Head | Axial slice
FLAIR magnetic resonance.
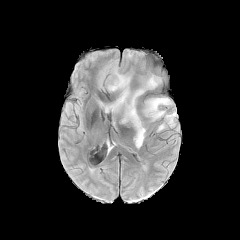
T1-weighted MR.
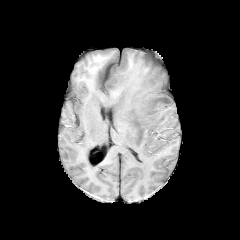
Post-contrast T1-weighted MR image.
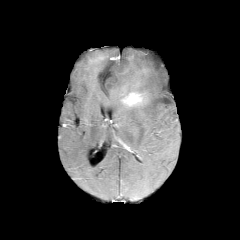
T2-weighted magnetic resonance.
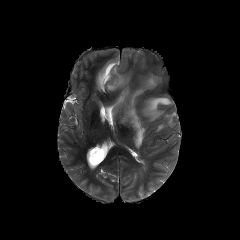
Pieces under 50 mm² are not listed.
* enhancing tumor: left=121, top=93, right=140, bottom=106; left=109, top=55, right=120, bottom=60
* peritumoral edema: left=143, top=97, right=176, bottom=127; left=157, top=123, right=166, bottom=131; left=98, top=48, right=168, bottom=148